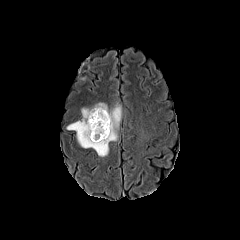
FLAIR MRI.
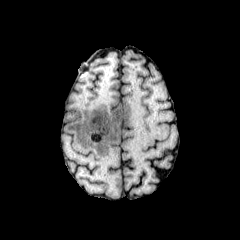
T1-weighted MR of the same slice.
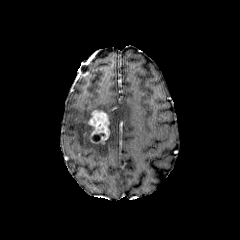
Post-contrast T1-weighted magnetic resonance of the same slice.
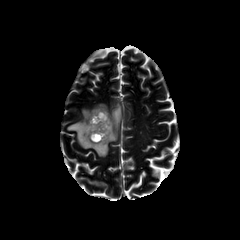
T2-weighted MR image.
Brain, Image size 240x240
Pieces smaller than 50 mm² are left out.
peritumoral edema: [67,103,121,156]
enhancing tumor: [88,110,109,143]
necrotic tumor core: [92,133,104,141]